FLAIR MR.
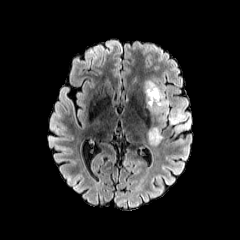
T1-weighted magnetic resonance.
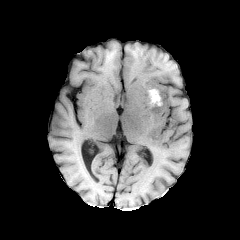
Post-contrast T1-weighted magnetic resonance.
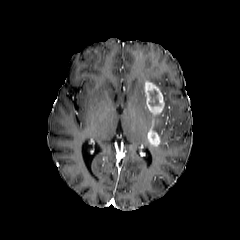
T2-weighted magnetic resonance.
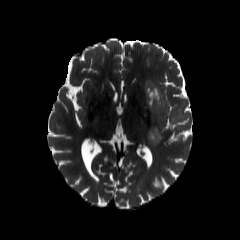
Axial plane, Brain
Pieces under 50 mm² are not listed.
The largest peritumoral edema region is located at (146,78,189,133). The enhancing tumor appears at (144,81,164,146). The necrotic tumor core is bounded by (149,89,158,105).